FLAIR magnetic resonance.
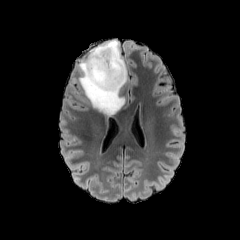
T1-weighted MR image.
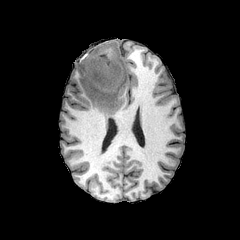
Post-contrast T1-weighted MR.
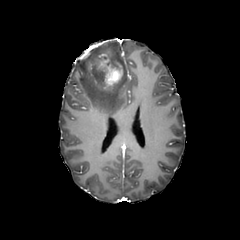
T2-weighted MR image.
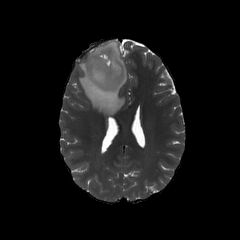
Image size 240x240; Axial slice; Brain
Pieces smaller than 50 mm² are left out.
The peritumoral edema is bounded by region(78, 40, 127, 115). The largest enhancing tumor region lies within region(91, 59, 122, 90). The necrotic tumor core appears at region(92, 66, 104, 87).